Image size 240x240, Axial plane
FLAIR MR image.
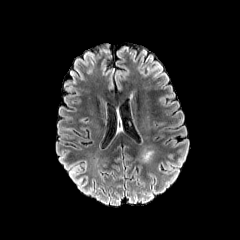
T1-weighted MR.
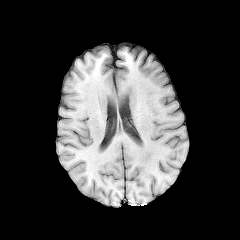
Post-contrast T1-weighted MRI.
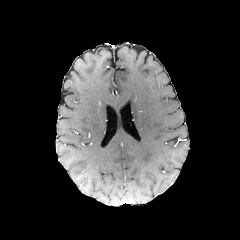
T2-weighted MR image.
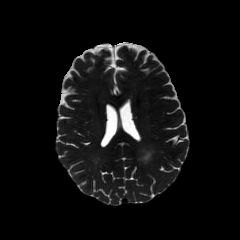
peritumoral edema at {"x1": 142, "y1": 151, "x2": 152, "y2": 160}